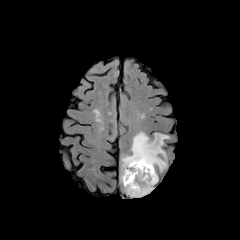
FLAIR MRI.
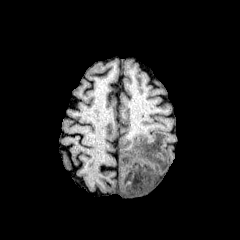
Same slice, T1-weighted magnetic resonance.
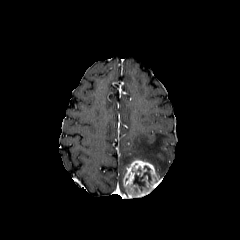
Post-contrast T1-weighted MR image.
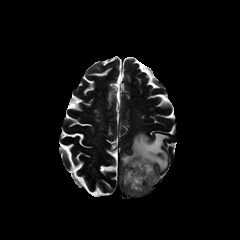
T2-weighted magnetic resonance.
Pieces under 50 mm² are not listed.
necrotic tumor core: (left=133, top=166, right=151, bottom=190)
enhancing tumor: (left=123, top=158, right=158, bottom=197)
peritumoral edema: (left=120, top=132, right=169, bottom=182)